FLAIR MR image.
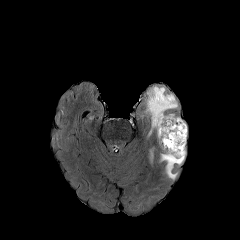
T1-weighted MRI.
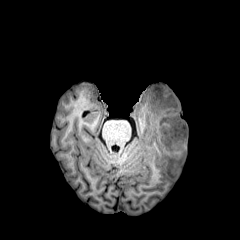
Post-contrast T1-weighted MR image.
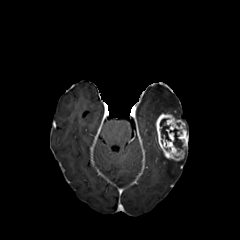
T2-weighted magnetic resonance.
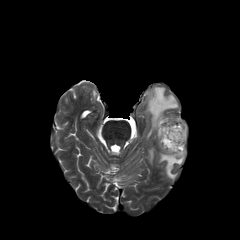
Axial plane. Head.
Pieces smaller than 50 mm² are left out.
The 2 largest necrotic tumor core regions are bounded by l=170, t=129, r=182, b=148; l=160, t=119, r=170, b=140. The 2 largest peritumoral edema regions are bounded by l=161, t=154, r=183, b=178; l=147, t=87, r=177, b=127. The enhancing tumor is located at l=155, t=113, r=188, b=161.